FLAIR MR.
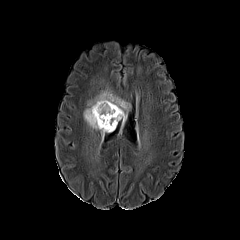
T1-weighted magnetic resonance.
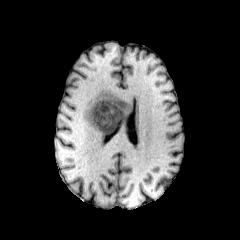
Post-contrast T1-weighted MR.
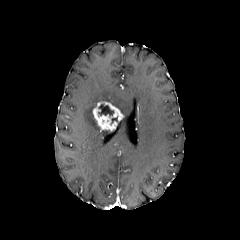
T2-weighted MR.
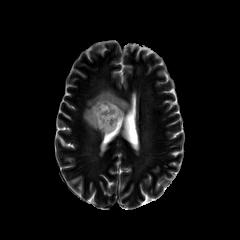
Head
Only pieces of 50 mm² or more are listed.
The largest peritumoral edema region is bounded by [x1=83, y1=89, x2=129, y2=129]. The enhancing tumor appears at [x1=92, y1=101, x2=123, y2=131]. The largest necrotic tumor core region lies within [x1=98, y1=104, x2=113, y2=116].